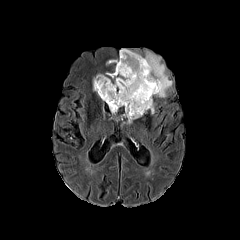
FLAIR magnetic resonance.
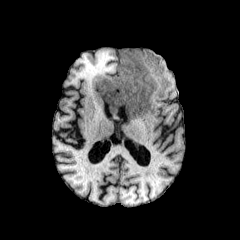
T1-weighted MR.
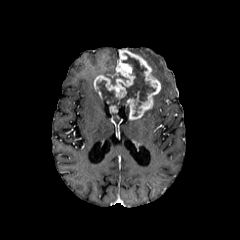
Post-contrast T1-weighted MRI of the same slice.
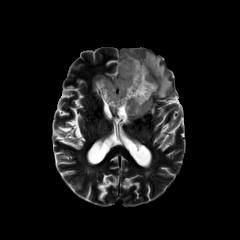
Same slice, T2-weighted MR.
Axial view
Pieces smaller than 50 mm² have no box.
<segmentation>
  <necrotic_tumor_core>region(97, 53, 155, 115)</necrotic_tumor_core>
  <enhancing_tumor>region(109, 105, 117, 112); region(93, 49, 160, 120)</enhancing_tumor>
  <peritumoral_edema>region(144, 51, 172, 97); region(125, 105, 131, 123); region(106, 71, 127, 84)</peritumoral_edema>
</segmentation>